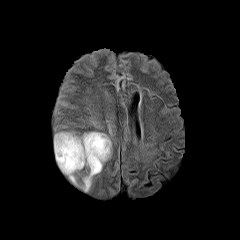
FLAIR magnetic resonance.
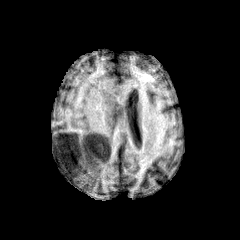
Same slice, T1-weighted MR image.
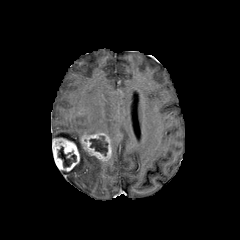
Same slice, post-contrast T1-weighted magnetic resonance.
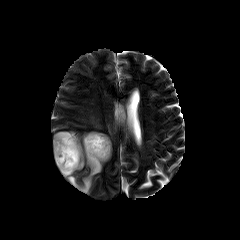
T2-weighted MR image.
240x240 px. Axial slice. Brain.
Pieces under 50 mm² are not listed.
2 enhancing tumor regions are located at box=[52, 137, 79, 171]; box=[80, 132, 111, 162]. 2 necrotic tumor core regions appear at box=[89, 136, 107, 155]; box=[58, 147, 76, 167]. The largest peritumoral edema region is located at box=[54, 132, 103, 192].